Axial view; Head; Image covers 240 mm x 240 mm; Slice 86/155
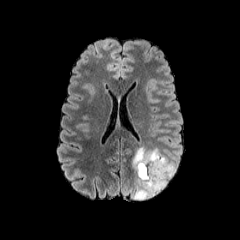
FLAIR MR image.
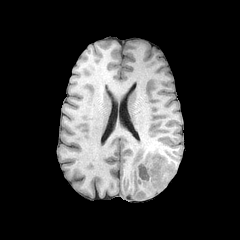
Same slice, T1-weighted magnetic resonance.
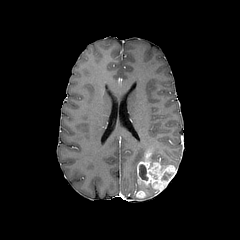
Post-contrast T1-weighted MR image of the same slice.
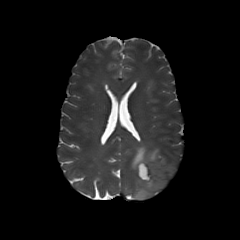
Same slice, T2-weighted MR image.
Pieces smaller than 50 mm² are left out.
enhancing tumor = [x1=136, y1=151, x2=176, y2=191], [x1=136, y1=192, x2=146, y2=198]
necrotic tumor core = [x1=161, y1=172, x2=171, y2=180], [x1=139, y1=164, x2=148, y2=180]
peritumoral edema = [x1=132, y1=145, x2=176, y2=200]